Image width 240 mm, 1.00 mm slice spacing, Axial slice, Image size 240x240, Head
FLAIR magnetic resonance.
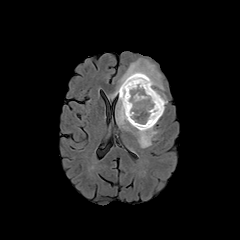
T1-weighted magnetic resonance.
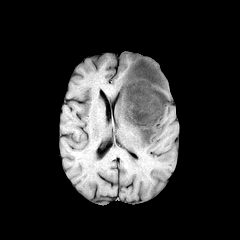
Post-contrast T1-weighted magnetic resonance.
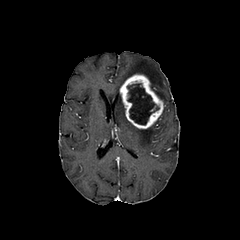
T2-weighted MR.
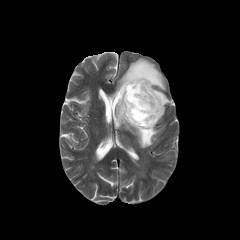
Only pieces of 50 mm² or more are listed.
The 2 largest peritumoral edema regions are bounded by rect(111, 58, 167, 104); rect(116, 95, 158, 148). The necrotic tumor core is at rect(127, 83, 159, 124). The enhancing tumor is located at rect(119, 74, 164, 128).